Image width 240 mm, Image size 240x240, Brain, Slice 125 of 155
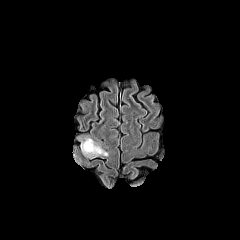
FLAIR MRI.
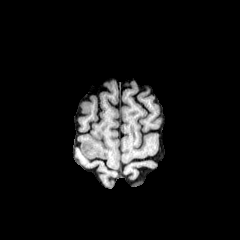
T1-weighted magnetic resonance of the same slice.
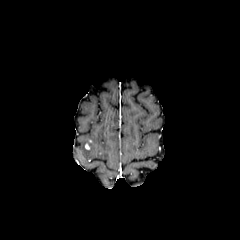
Post-contrast T1-weighted MRI.
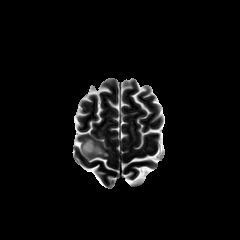
T2-weighted magnetic resonance.
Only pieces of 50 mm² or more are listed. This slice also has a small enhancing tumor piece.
Findings:
* peritumoral edema: [81, 138, 107, 156]